FLAIR MR image.
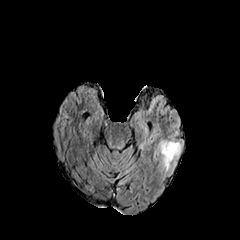
T1-weighted MR image.
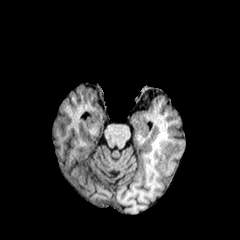
Post-contrast T1-weighted MRI.
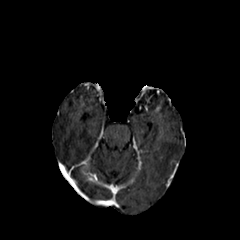
T2-weighted magnetic resonance.
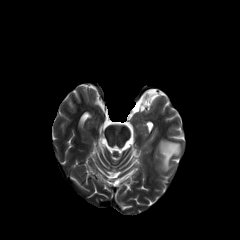
Head. Axial plane.
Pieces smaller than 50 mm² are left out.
peritumoral edema: 159, 140, 181, 171